Image size 240x240; Head
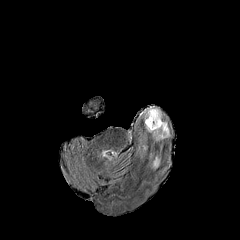
FLAIR magnetic resonance.
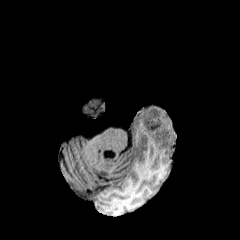
T1-weighted MRI.
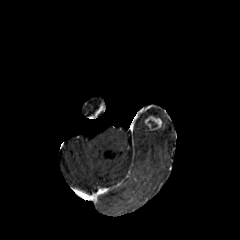
Post-contrast T1-weighted magnetic resonance.
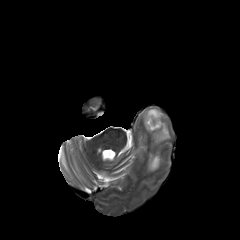
T2-weighted magnetic resonance.
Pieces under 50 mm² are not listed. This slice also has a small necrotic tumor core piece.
3 peritumoral edema regions appear at 146, 122, 169, 140; 144, 108, 161, 119; 152, 156, 159, 168. The enhancing tumor lies within 145, 116, 161, 130.